Axial plane
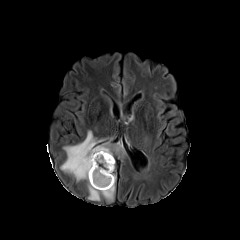
FLAIR MRI.
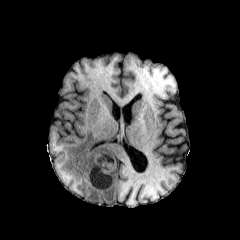
T1-weighted magnetic resonance.
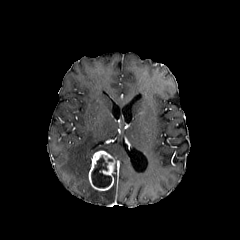
Post-contrast T1-weighted MRI.
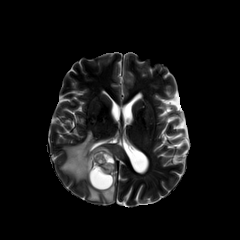
Same slice, T2-weighted MRI.
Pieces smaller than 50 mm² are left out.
necrotic tumor core: bounding box box(91, 156, 111, 187)
peritumoral edema: bounding box box(60, 130, 126, 202)
enhancing tumor: bounding box box(88, 150, 115, 190)